FLAIR magnetic resonance.
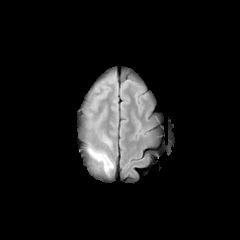
T1-weighted MRI.
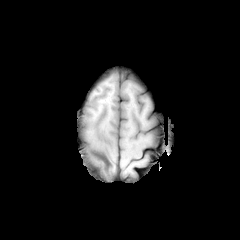
Post-contrast T1-weighted MRI.
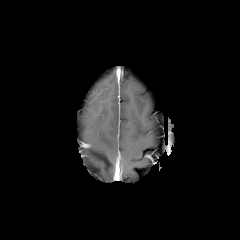
T2-weighted magnetic resonance.
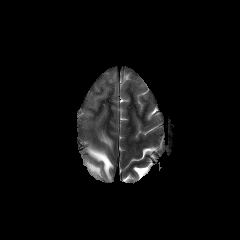
Axial plane.
peritumoral edema — x1=88 y1=147 x2=113 y2=175, x1=102 y1=135 x2=111 y2=146